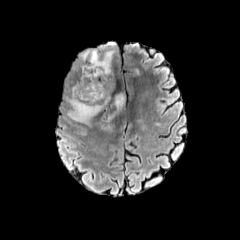
FLAIR MR image.
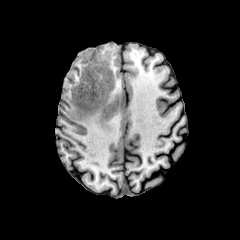
T1-weighted MR of the same slice.
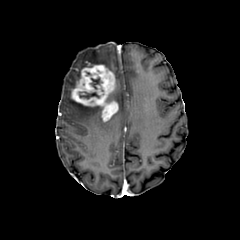
Post-contrast T1-weighted MRI of the same slice.
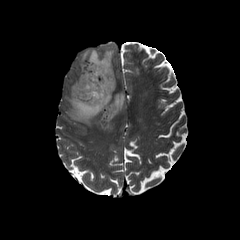
T2-weighted MRI.
Brain, Axial plane
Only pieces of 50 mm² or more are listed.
The 2 largest necrotic tumor core regions appear at 91:78:101:89, 79:92:99:98. The enhancing tumor lies within 71:65:118:121. The 3 largest peritumoral edema regions appear at 106:93:124:111, 80:49:114:70, 67:98:102:124.